Brain. Slice 62 of 155. Axial view.
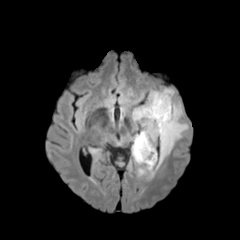
FLAIR MR.
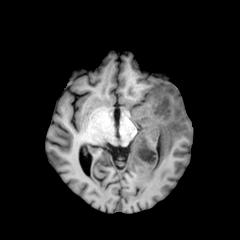
Same slice, T1-weighted MRI.
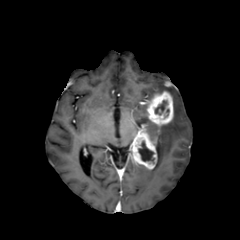
Same slice, post-contrast T1-weighted magnetic resonance.
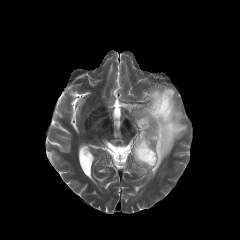
T2-weighted magnetic resonance.
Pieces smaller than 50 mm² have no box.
Segmented structures:
- necrotic tumor core: bbox(138, 141, 154, 162); bbox(155, 101, 166, 114)
- enhancing tumor: bbox(132, 125, 157, 169); bbox(147, 91, 173, 126)
- peritumoral edema: bbox(136, 164, 154, 176); bbox(133, 88, 187, 170)